240x240, Axial slice
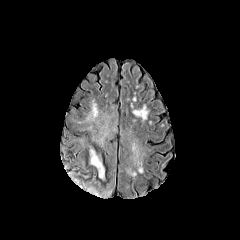
FLAIR magnetic resonance.
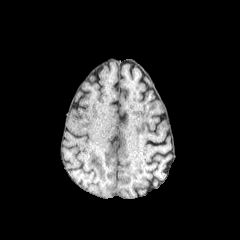
T1-weighted magnetic resonance.
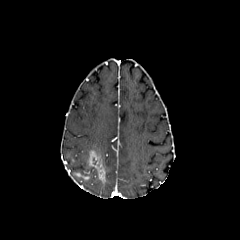
Post-contrast T1-weighted MR.
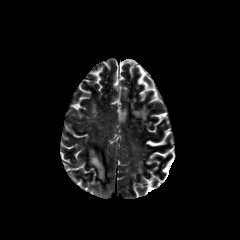
Same slice, T2-weighted MRI.
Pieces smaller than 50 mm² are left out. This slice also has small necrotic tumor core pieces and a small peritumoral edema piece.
{
  "enhancing_tumor": [
    "[89,150,104,183]"
  ]
}